FLAIR MR image.
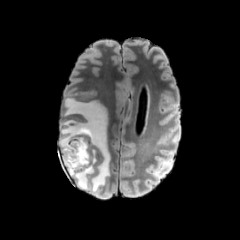
T1-weighted MRI.
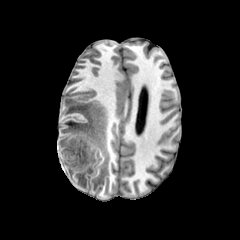
Post-contrast T1-weighted magnetic resonance.
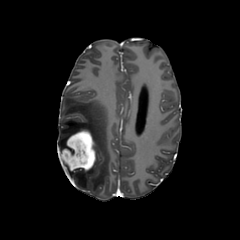
T2-weighted MR.
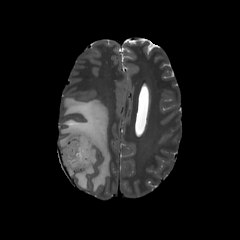
240x240 px; Axial slice; Head
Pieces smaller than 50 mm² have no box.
The largest peritumoral edema region appears at (left=58, top=97, right=110, bottom=194). The enhancing tumor is located at (left=60, top=129, right=95, bottom=171).